FLAIR MR.
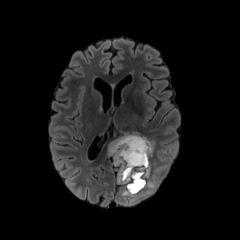
T1-weighted MR image.
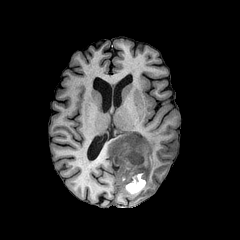
Post-contrast T1-weighted MR image.
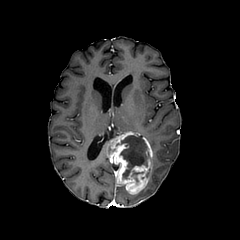
T2-weighted MR.
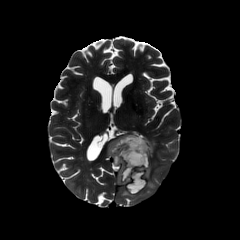
240x240 px, Brain
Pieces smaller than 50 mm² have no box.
The 3 largest peritumoral edema regions appear at (121,189,135,197), (145,137,155,153), (145,178,157,189). The enhancing tumor lies within (108,131,153,194). The largest necrotic tumor core region is at (120,135,149,179).